Axial plane. Slice 78 of 155. Head.
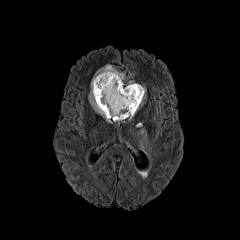
FLAIR magnetic resonance.
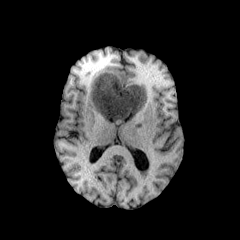
T1-weighted MRI.
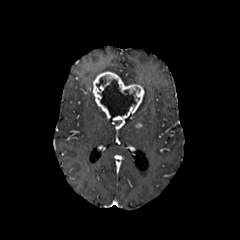
Post-contrast T1-weighted MR image.
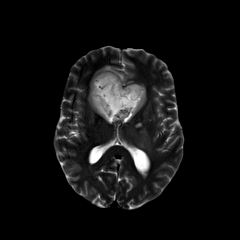
T2-weighted MRI.
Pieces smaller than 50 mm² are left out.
The 2 largest necrotic tumor core regions are bounded by rect(96, 76, 106, 88); rect(100, 79, 136, 118). The largest enhancing tumor region appears at rect(92, 71, 144, 120). The 2 largest peritumoral edema regions are bounded by rect(140, 129, 146, 147); rect(88, 65, 125, 121).